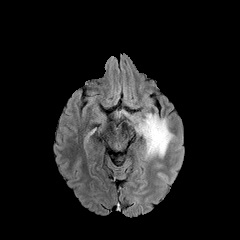
FLAIR MRI.
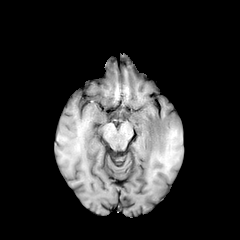
T1-weighted MR.
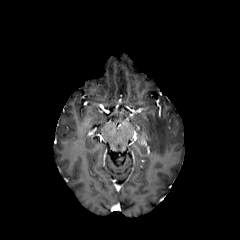
Post-contrast T1-weighted MR.
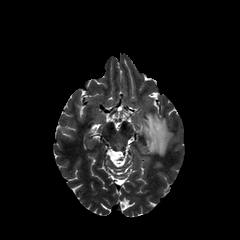
T2-weighted MR image.
Brain
Findings:
- peritumoral edema: bbox=[137, 113, 173, 156]